FLAIR MR.
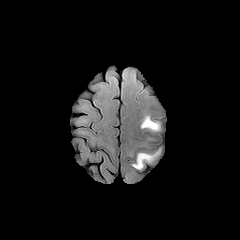
T1-weighted magnetic resonance.
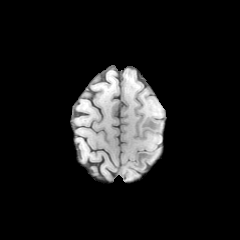
Post-contrast T1-weighted magnetic resonance.
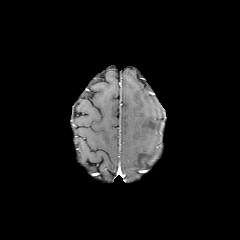
T2-weighted MR.
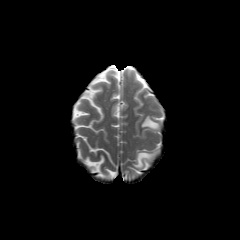
<segmentation>
  <peritumoral_edema>x1=141 y1=116 x2=159 y2=130, x1=133 y1=150 x2=159 y2=168</peritumoral_edema>
</segmentation>